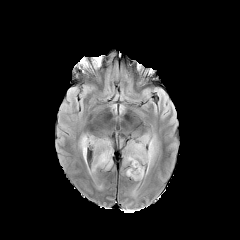
FLAIR MR.
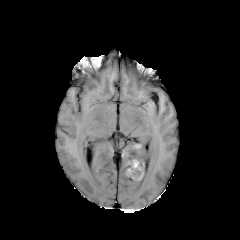
T1-weighted MR.
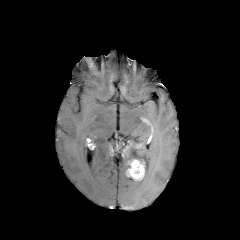
Post-contrast T1-weighted MR image.
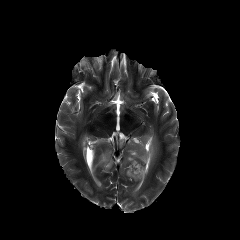
Same slice, T2-weighted MR.
Axial view. Brain.
peritumoral_edema:
  - rect(125, 134, 156, 176)
  - rect(88, 136, 112, 174)
  - rect(80, 135, 87, 162)
enhancing_tumor:
  - rect(126, 159, 144, 180)